Brain, Axial slice
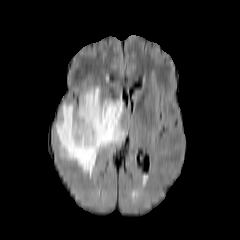
FLAIR MR image.
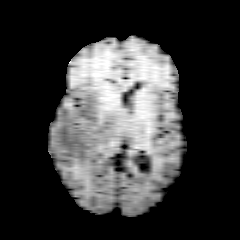
T1-weighted MR of the same slice.
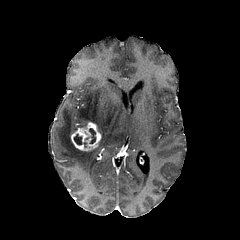
Same slice, post-contrast T1-weighted MR image.
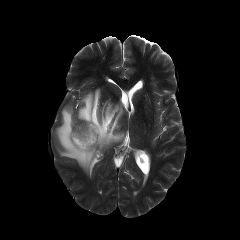
Same slice, T2-weighted MRI.
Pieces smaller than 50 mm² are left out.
The peritumoral edema is located at left=56, top=87, right=125, bottom=176. The 2 largest necrotic tumor core regions are bounded by left=74, top=134, right=86, bottom=147; left=89, top=128, right=95, bottom=143. The enhancing tumor is located at left=71, top=122, right=101, bottom=151.